Slice 127 of 155 | Axial plane | 240x240 | Brain
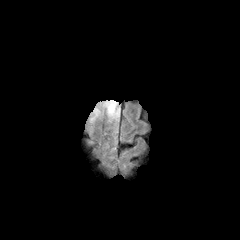
FLAIR magnetic resonance.
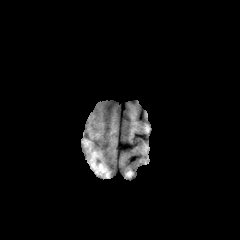
Same slice, T1-weighted magnetic resonance.
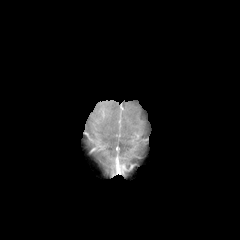
Post-contrast T1-weighted MRI of the same slice.
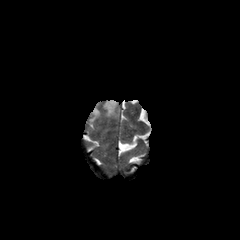
T2-weighted MRI.
2 peritumoral edema regions appear at x1=90 y1=108 x2=100 y2=122, x1=104 y1=100 x2=118 y2=118.